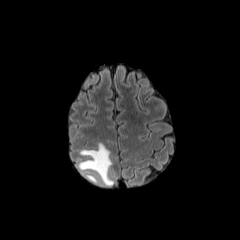
FLAIR MR.
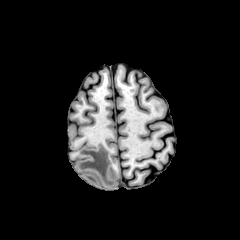
T1-weighted MR.
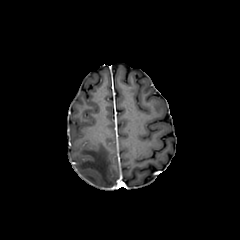
Post-contrast T1-weighted MR image of the same slice.
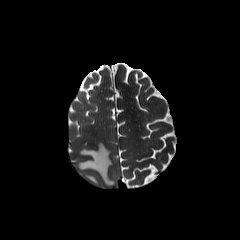
T2-weighted MRI.
Axial view
peritumoral_edema:
  - [78, 143, 114, 185]
  - [84, 174, 99, 184]